Slice index 56, Axial plane
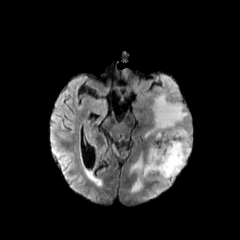
FLAIR MR.
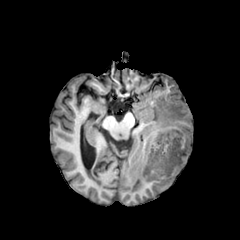
Same slice, T1-weighted MR.
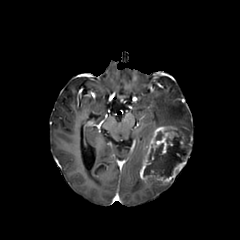
Post-contrast T1-weighted MR of the same slice.
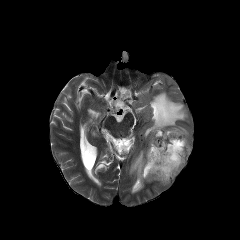
T2-weighted MR image.
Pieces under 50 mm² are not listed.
The largest enhancing tumor region is bounded by l=139, t=126, r=190, b=184. The largest necrotic tumor core region appears at l=143, t=131, r=185, b=178. The 3 largest peritumoral edema regions are bounded by l=157, t=183, r=171, b=192; l=129, t=151, r=145, b=193; l=144, t=94, r=191, b=151.